FLAIR MR image.
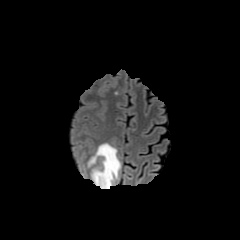
T1-weighted magnetic resonance.
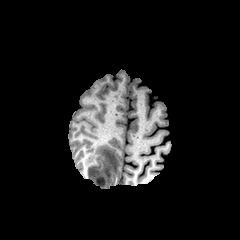
Post-contrast T1-weighted MR image.
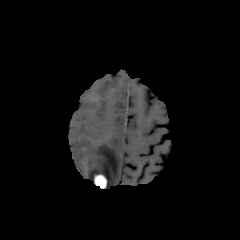
T2-weighted MRI.
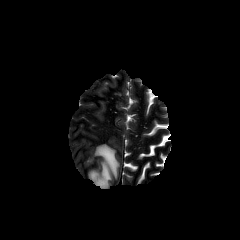
Axial slice
The peritumoral edema is at x1=87, y1=143, x2=121, y2=188. The enhancing tumor is bounded by x1=94, y1=174, x2=106, y2=188.